Image covers 240 mm x 240 mm, Slice index 37, Brain
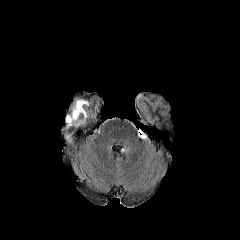
FLAIR MRI.
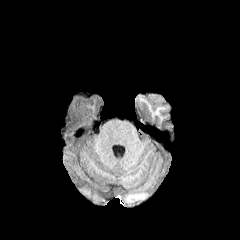
Same slice, T1-weighted MR image.
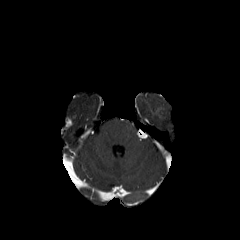
Post-contrast T1-weighted MR.
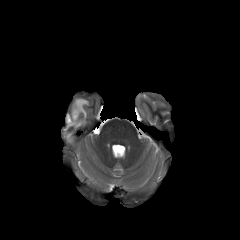
T2-weighted MRI.
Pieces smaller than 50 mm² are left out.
<segmentation>
  <enhancing_tumor><bbox>65, 117, 72, 126</bbox></enhancing_tumor>
  <peritumoral_edema><bbox>66, 99, 88, 127</bbox></peritumoral_edema>
</segmentation>